FLAIR MR.
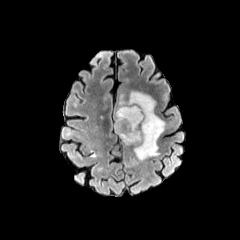
T1-weighted MRI.
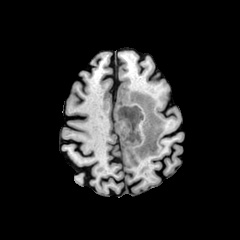
Post-contrast T1-weighted magnetic resonance.
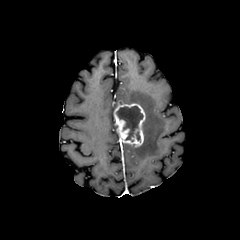
T2-weighted MR.
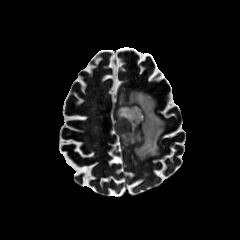
Axial plane | 240x240 px
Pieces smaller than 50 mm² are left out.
- enhancing tumor: <box>114,101,145,146</box>
- peritumoral edema: <box>120,91,165,160</box>
- necrotic tumor core: <box>116,106,143,140</box>